Axial plane | Slice 81/155 | Head
FLAIR MR image.
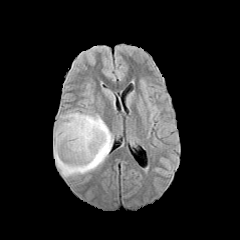
T1-weighted magnetic resonance.
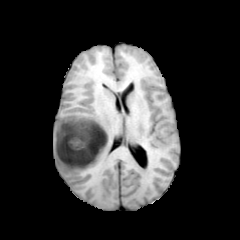
Post-contrast T1-weighted MRI.
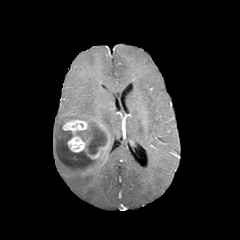
T2-weighted MR.
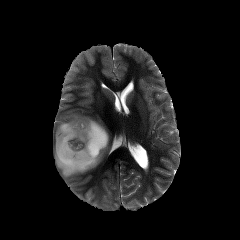
<segmentation>
  <enhancing_tumor>{"x1": 62, "y1": 120, "x2": 108, "y2": 159}, {"x1": 95, "y1": 121, "x2": 106, "y2": 134}</enhancing_tumor>
  <peritumoral_edema>{"x1": 53, "y1": 111, "x2": 112, "y2": 177}</peritumoral_edema>
  <necrotic_tumor_core>{"x1": 77, "y1": 122, "x2": 107, "y2": 155}</necrotic_tumor_core>
</segmentation>